Axial view; Head
FLAIR MR.
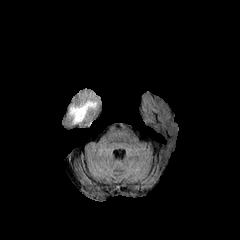
T1-weighted MR.
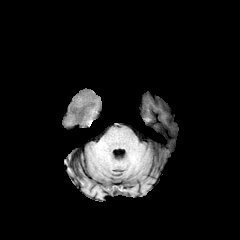
Post-contrast T1-weighted MR image.
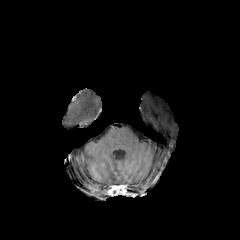
T2-weighted MR image.
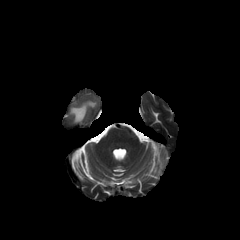
The peritumoral edema appears at 68, 91, 97, 123.